Slice 88/155. Head. 240x240.
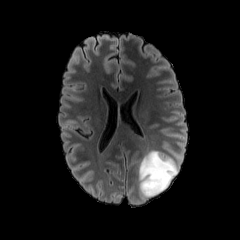
FLAIR MRI.
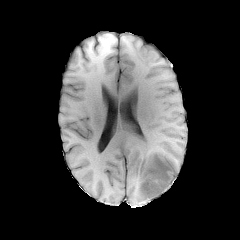
Same slice, T1-weighted magnetic resonance.
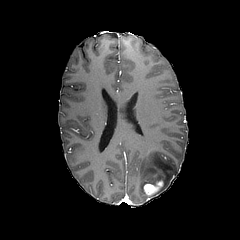
Post-contrast T1-weighted MRI.
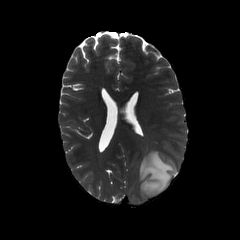
T2-weighted MR image.
enhancing tumor: bounding box <box>143,180,163,196</box>
peritumoral edema: bounding box <box>138,150,179,200</box>